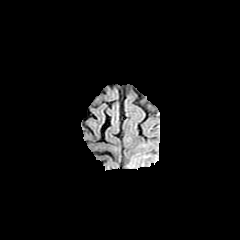
FLAIR MR.
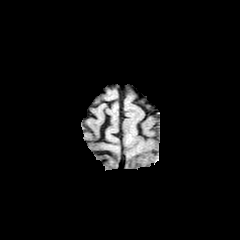
T1-weighted MR image of the same slice.
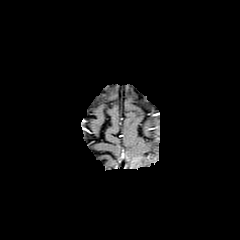
Post-contrast T1-weighted magnetic resonance.
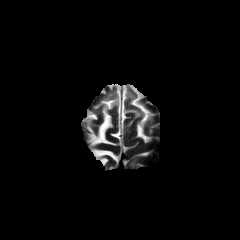
T2-weighted magnetic resonance.
Axial view. Head.
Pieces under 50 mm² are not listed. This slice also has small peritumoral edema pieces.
• enhancing tumor: bbox=[131, 157, 139, 168]